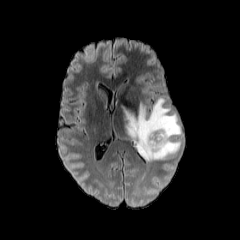
FLAIR MR.
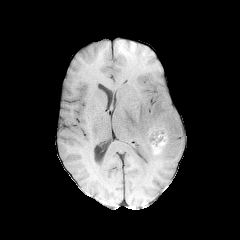
T1-weighted MRI of the same slice.
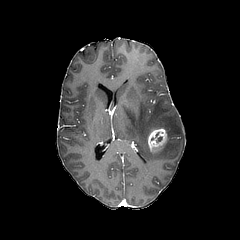
Post-contrast T1-weighted MR image of the same slice.
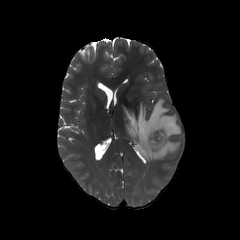
T2-weighted MR image of the same slice.
Head, Axial slice
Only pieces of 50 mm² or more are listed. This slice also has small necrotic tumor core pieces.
enhancing tumor = x1=147 y1=128 x2=167 y2=151
peritumoral edema = x1=124 y1=97 x2=182 y2=161